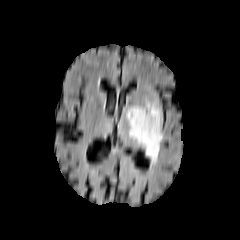
FLAIR MR.
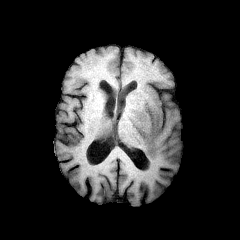
T1-weighted magnetic resonance.
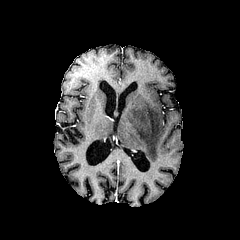
Post-contrast T1-weighted MR image.
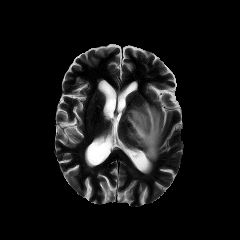
T2-weighted MR.
Axial slice.
Findings:
- peritumoral edema: box(126, 101, 162, 162)